Image covers 240 mm x 240 mm, Slice 73/155, Axial plane
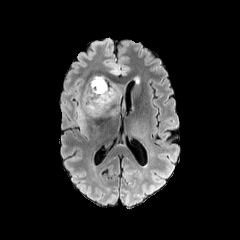
FLAIR MRI.
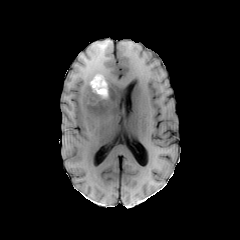
T1-weighted MRI.
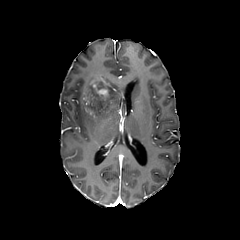
Post-contrast T1-weighted magnetic resonance.
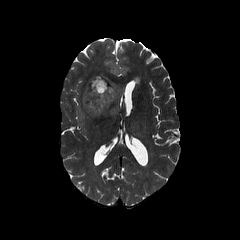
T2-weighted MRI.
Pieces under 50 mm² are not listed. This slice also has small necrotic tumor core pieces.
enhancing tumor: [84,76,107,101]
peritumoral edema: [76,76,120,136], [111,64,120,74]